Axial view. Slice 109/155.
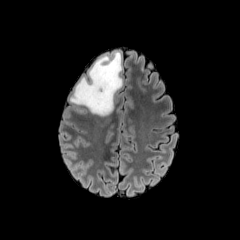
FLAIR magnetic resonance.
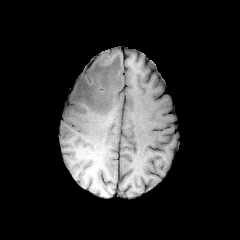
T1-weighted MRI.
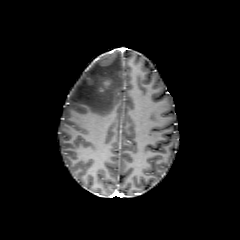
Same slice, post-contrast T1-weighted MRI.
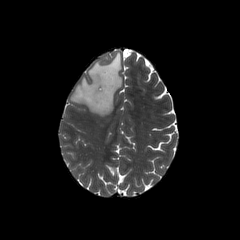
T2-weighted magnetic resonance of the same slice.
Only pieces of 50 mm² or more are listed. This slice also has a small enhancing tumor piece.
Segmented structures:
- peritumoral edema: [x1=69, y1=51, x2=122, y2=116]